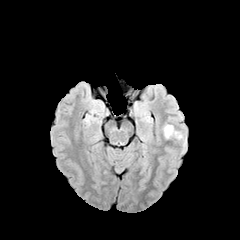
FLAIR MRI.
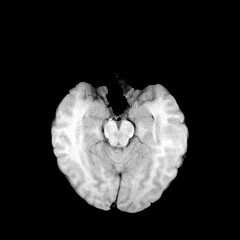
T1-weighted MRI of the same slice.
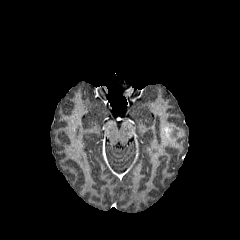
Post-contrast T1-weighted MR.
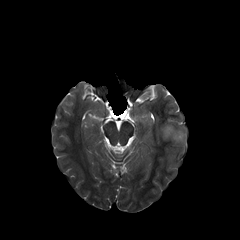
T2-weighted MR image.
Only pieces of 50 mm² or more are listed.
The largest enhancing tumor region is located at left=162, top=126, right=172, bottom=137. The peritumoral edema lies within left=165, top=124, right=186, bottom=143.